FLAIR MR.
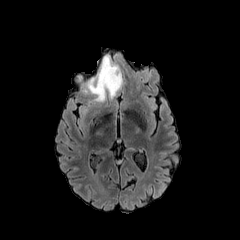
T1-weighted magnetic resonance.
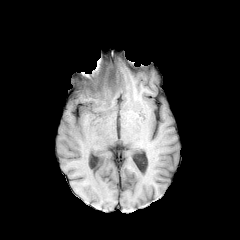
Post-contrast T1-weighted magnetic resonance.
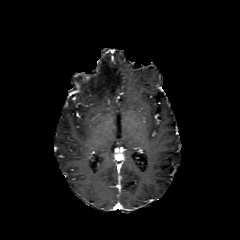
T2-weighted magnetic resonance.
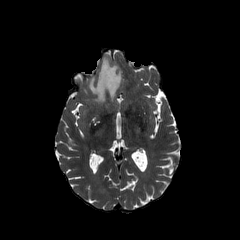
Axial slice; 240x240 px; Brain
peritumoral edema: bbox(83, 54, 122, 102)